FLAIR MR image.
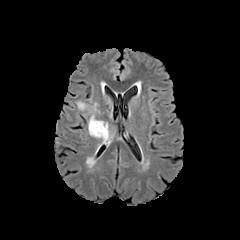
T1-weighted MRI.
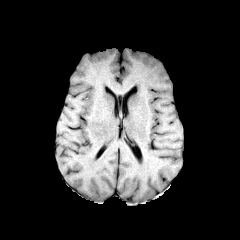
Post-contrast T1-weighted MRI.
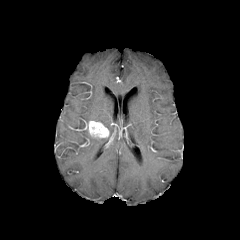
T2-weighted magnetic resonance.
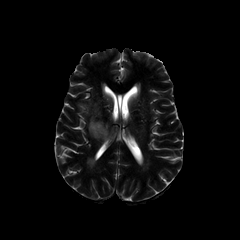
Brain
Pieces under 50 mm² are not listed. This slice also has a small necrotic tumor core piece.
The enhancing tumor appears at 88,121,109,137. The 2 largest peritumoral edema regions are located at 89,115,108,129; 77,102,88,110.